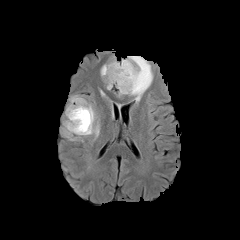
FLAIR magnetic resonance.
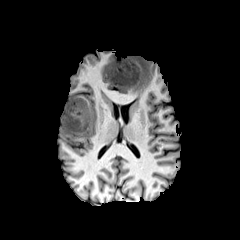
Same slice, T1-weighted magnetic resonance.
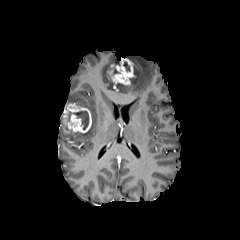
Post-contrast T1-weighted MR image.
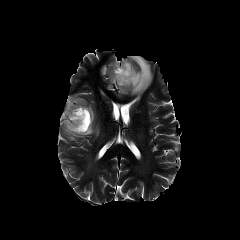
T2-weighted MR of the same slice.
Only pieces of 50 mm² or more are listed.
enhancing_tumor:
  - 63,103,91,133
  - 108,58,134,85
peritumoral_edema:
  - 100,57,119,89
  - 116,56,153,102
  - 63,96,99,137
necrotic_tumor_core:
  - 73,111,88,129